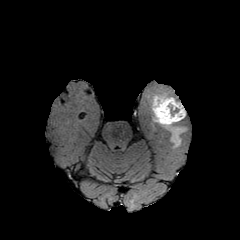
FLAIR magnetic resonance.
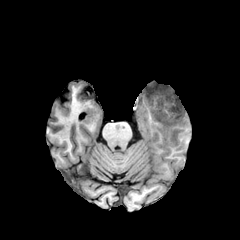
T1-weighted MR image.
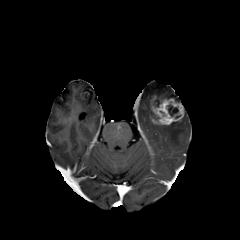
Same slice, post-contrast T1-weighted MR.
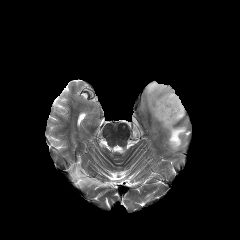
T2-weighted magnetic resonance.
Image size 240x240; Head
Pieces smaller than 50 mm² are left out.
enhancing tumor = (left=151, top=95, right=184, bottom=124)
peritumoral edema = (left=161, top=124, right=186, bottom=148), (left=147, top=85, right=179, bottom=105)
necrotic tumor core = (left=152, top=98, right=160, bottom=106), (left=168, top=104, right=178, bottom=116)